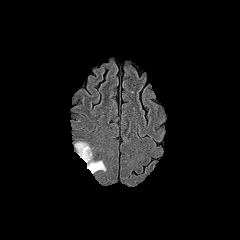
FLAIR MRI.
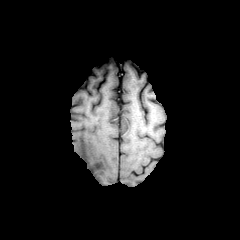
T1-weighted magnetic resonance.
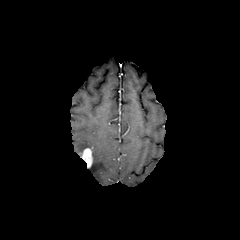
Post-contrast T1-weighted MR image of the same slice.
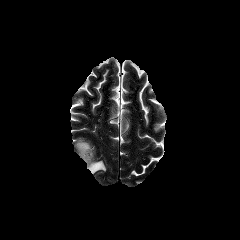
T2-weighted MRI of the same slice.
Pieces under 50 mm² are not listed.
Findings:
* enhancing tumor: bbox=[79, 148, 92, 167]
* peritumoral edema: bbox=[74, 141, 91, 154]; bbox=[87, 160, 106, 173]